Brain. Slice index 114. Axial view.
FLAIR magnetic resonance.
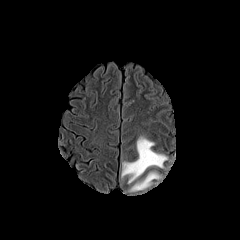
T1-weighted magnetic resonance.
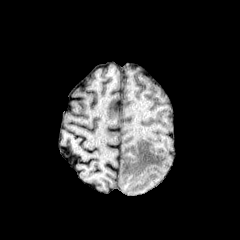
Post-contrast T1-weighted magnetic resonance.
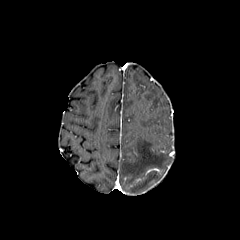
T2-weighted MRI.
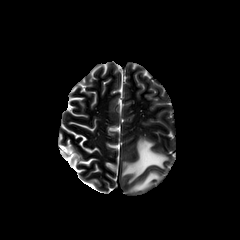
Segmented structures:
• peritumoral edema: 121, 136, 167, 183; 129, 172, 160, 191